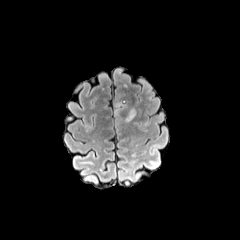
FLAIR magnetic resonance.
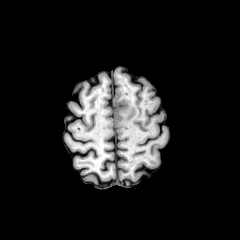
T1-weighted magnetic resonance.
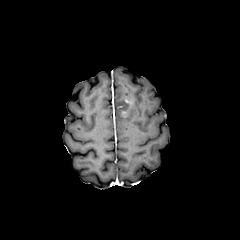
Post-contrast T1-weighted magnetic resonance of the same slice.
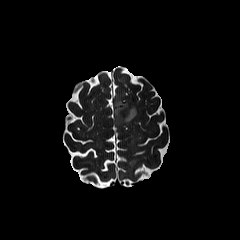
T2-weighted MR.
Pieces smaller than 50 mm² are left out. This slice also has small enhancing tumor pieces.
The peritumoral edema is located at rect(114, 99, 136, 123).